Head, Axial slice
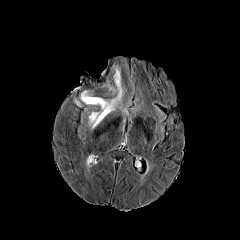
FLAIR MR.
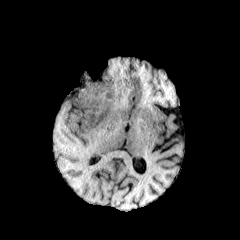
Same slice, T1-weighted MR.
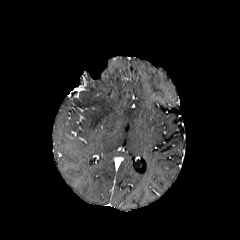
Post-contrast T1-weighted MR image.
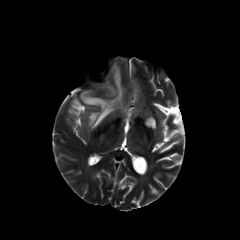
Same slice, T2-weighted magnetic resonance.
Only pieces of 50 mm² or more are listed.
peritumoral_edema:
  - [80,67,122,129]